FLAIR MR image.
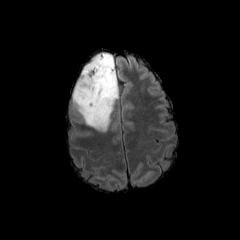
T1-weighted magnetic resonance.
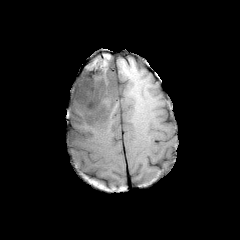
Post-contrast T1-weighted MR.
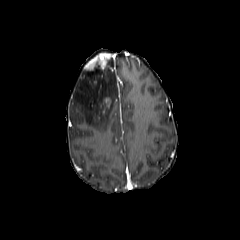
T2-weighted MR image.
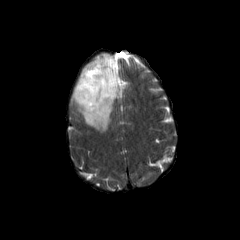
enhancing tumor: (left=84, top=52, right=111, bottom=70), (left=102, top=97, right=110, bottom=114)
peritumoral edema: (left=72, top=56, right=118, bottom=131)